FLAIR MR.
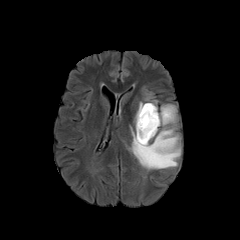
T1-weighted magnetic resonance.
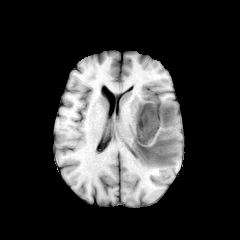
Post-contrast T1-weighted MR.
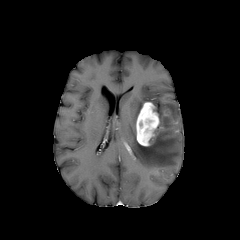
T2-weighted MRI.
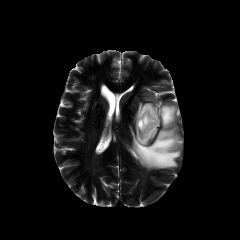
Brain
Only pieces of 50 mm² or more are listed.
peritumoral_edema:
  - box=[130, 100, 181, 170]
enhancing_tumor:
  - box=[136, 102, 159, 146]
  - box=[163, 109, 170, 117]